Brain. Slice index 70.
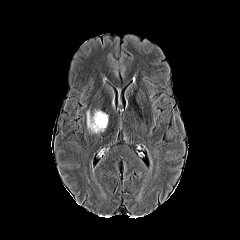
FLAIR MR.
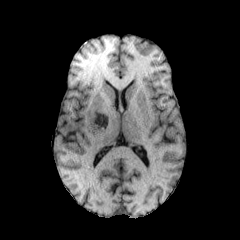
Same slice, T1-weighted MRI.
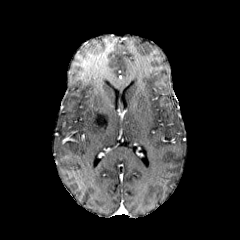
Same slice, post-contrast T1-weighted MR.
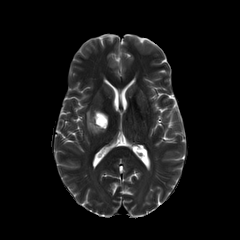
T2-weighted magnetic resonance.
peritumoral edema: bounding box <bbox>86, 110, 108, 133</bbox>